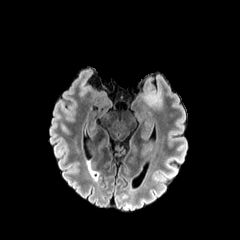
FLAIR MR image.
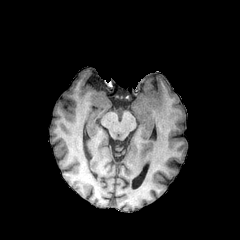
Same slice, T1-weighted MR.
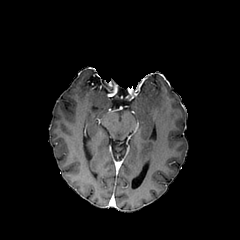
Same slice, post-contrast T1-weighted MR.
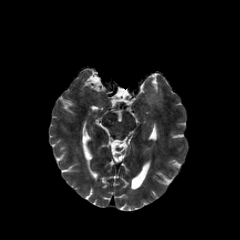
T2-weighted MR.
240x240 px | Brain
The peritumoral edema is located at (144, 91, 161, 107).